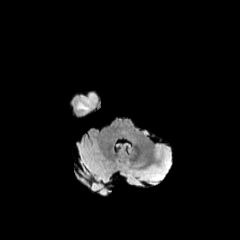
FLAIR MR.
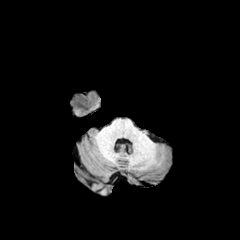
T1-weighted magnetic resonance of the same slice.
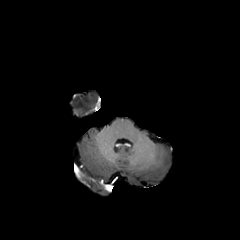
Same slice, post-contrast T1-weighted MR image.
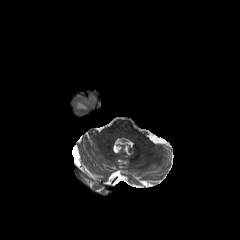
Same slice, T2-weighted MR.
Head
peritumoral edema: box=[76, 94, 96, 111]